240x240 px | Head | Slice 83 of 155
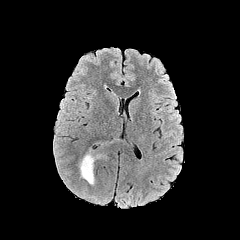
FLAIR MRI.
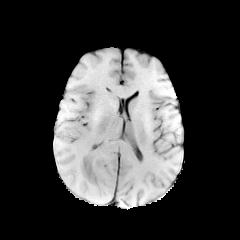
T1-weighted MR of the same slice.
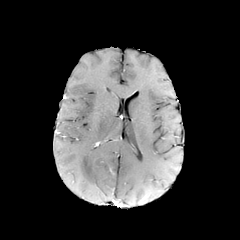
Post-contrast T1-weighted MR of the same slice.
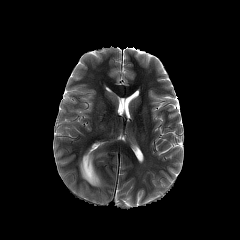
T2-weighted magnetic resonance.
peritumoral_edema:
  - (left=79, top=148, right=105, bottom=185)